Image width 240 mm; Head; Slice 132 of 155; 240x240
FLAIR MR.
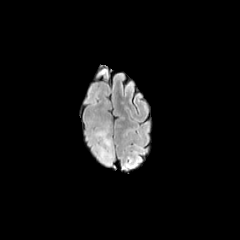
T1-weighted MR image.
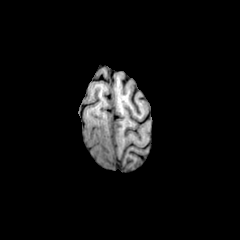
Post-contrast T1-weighted MR image.
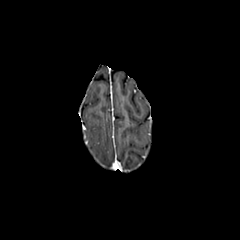
T2-weighted magnetic resonance.
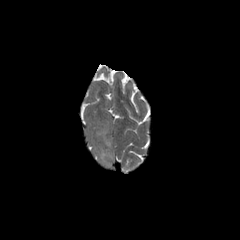
The peritumoral edema lies within x1=94, y1=125, x2=113, y2=165.